Axial plane; Image width 240 mm, 1.00 mm slice spacing; Brain
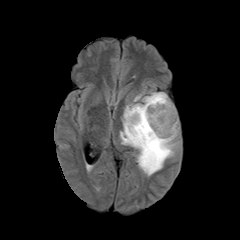
FLAIR magnetic resonance.
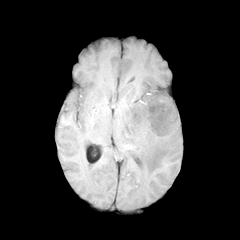
Same slice, T1-weighted MRI.
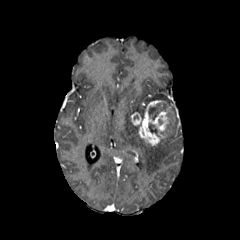
Post-contrast T1-weighted MR image of the same slice.
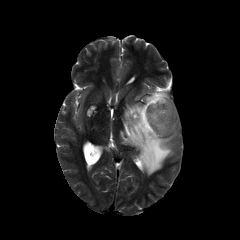
T2-weighted MRI.
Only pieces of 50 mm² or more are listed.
* necrotic tumor core: (left=149, top=123, right=159, bottom=136), (left=148, top=103, right=167, bottom=120)
* enhancing tumor: (left=131, top=100, right=175, bottom=145)
* peritumoral edema: (left=120, top=85, right=179, bottom=175)